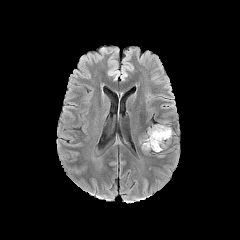
FLAIR magnetic resonance.
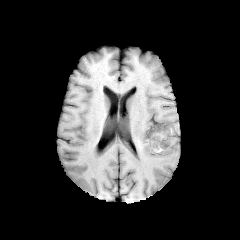
T1-weighted MR image of the same slice.
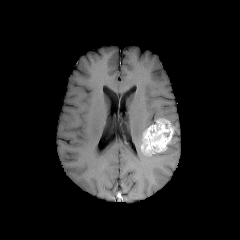
Post-contrast T1-weighted MRI of the same slice.
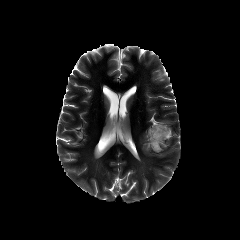
T2-weighted MR.
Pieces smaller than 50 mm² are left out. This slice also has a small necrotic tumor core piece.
Segmented structures:
• enhancing tumor: (x1=141, y1=119, x2=173, y2=154)